240x240, Brain, Image width 240 mm
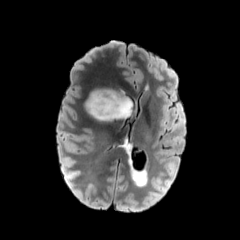
FLAIR MR.
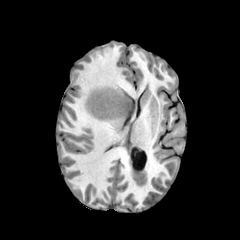
T1-weighted MR image.
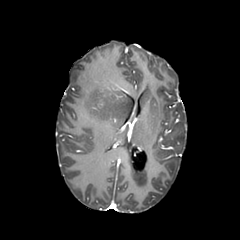
Post-contrast T1-weighted MRI of the same slice.
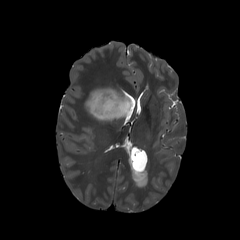
T2-weighted magnetic resonance.
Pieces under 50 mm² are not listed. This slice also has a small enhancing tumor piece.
peritumoral edema: <box>85,88,131,121</box>